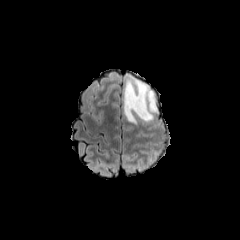
FLAIR magnetic resonance.
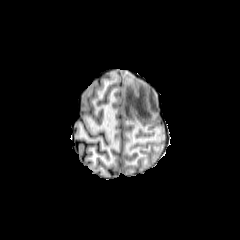
Same slice, T1-weighted MRI.
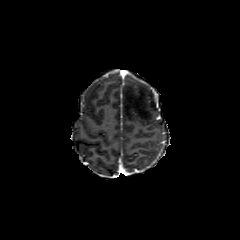
Post-contrast T1-weighted magnetic resonance.
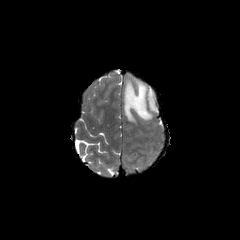
T2-weighted MR of the same slice.
240x240 | Head
peritumoral edema: bounding box [x1=123, y1=77, x2=157, y2=123]